Axial slice
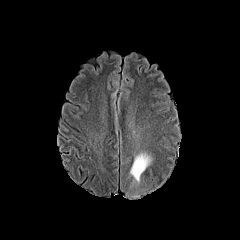
FLAIR MRI.
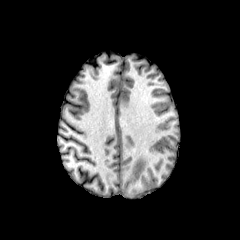
T1-weighted MR image.
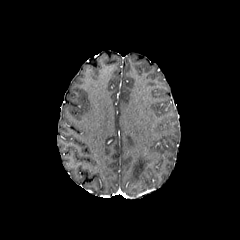
Post-contrast T1-weighted MR of the same slice.
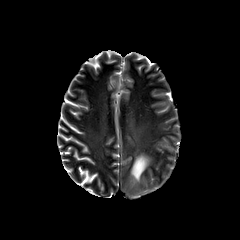
Same slice, T2-weighted MR image.
The peritumoral edema is located at bbox=[130, 152, 152, 182].